FLAIR magnetic resonance.
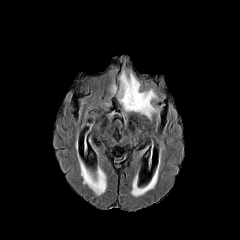
T1-weighted MR image.
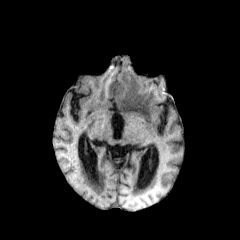
Post-contrast T1-weighted MR image.
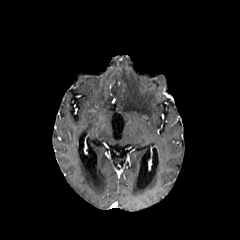
T2-weighted MRI.
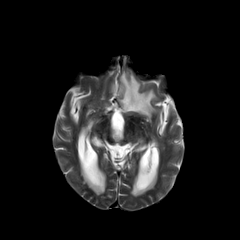
Axial view.
Segmented structures:
• peritumoral edema: (112, 70, 157, 118), (81, 163, 106, 195)